FLAIR magnetic resonance.
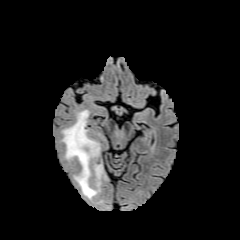
T1-weighted magnetic resonance.
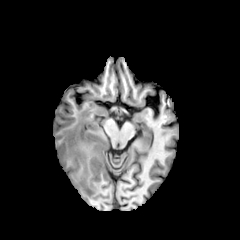
Post-contrast T1-weighted MRI.
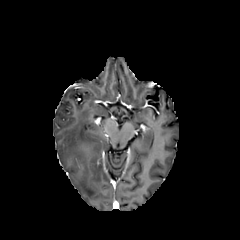
T2-weighted MR.
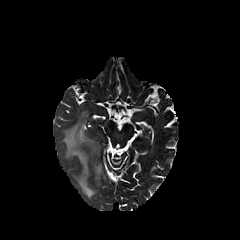
Head, Axial slice
The peritumoral edema appears at (61, 110, 103, 198).